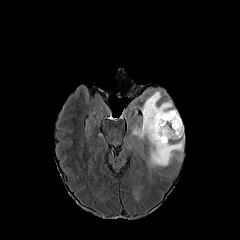
FLAIR MR image.
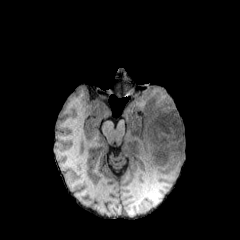
T1-weighted magnetic resonance.
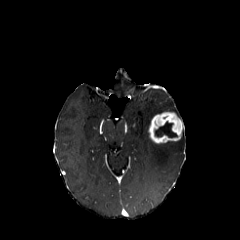
Post-contrast T1-weighted MR of the same slice.
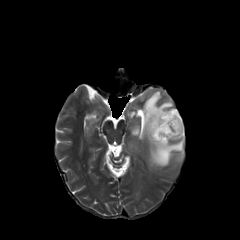
T2-weighted MRI.
Image size 240x240.
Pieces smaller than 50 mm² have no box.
<segmentation>
  <enhancing_tumor>bbox(148, 111, 184, 143)</enhancing_tumor>
  <necrotic_tumor_core>bbox(155, 121, 177, 137)</necrotic_tumor_core>
  <peritumoral_edema>bbox(132, 91, 184, 167)</peritumoral_edema>
</segmentation>